Slice index 40, Axial view
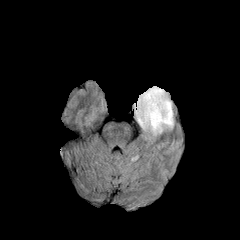
FLAIR MR image.
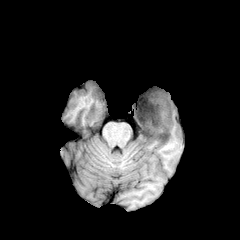
T1-weighted MRI.
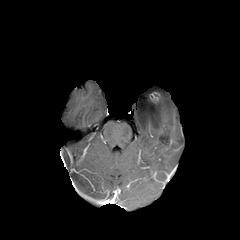
Post-contrast T1-weighted magnetic resonance of the same slice.
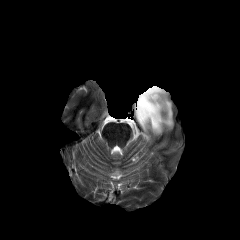
T2-weighted MR image of the same slice.
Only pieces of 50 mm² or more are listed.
enhancing tumor — l=149, t=90, r=162, b=128
necrotic tumor core — l=138, t=90, r=161, b=126
peritumoral edema — l=133, t=86, r=174, b=140